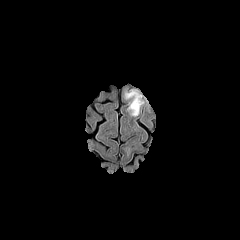
FLAIR MR image.
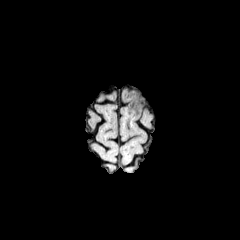
T1-weighted MRI.
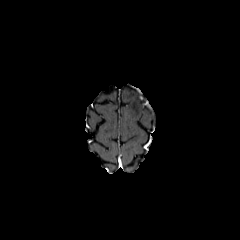
Post-contrast T1-weighted magnetic resonance.
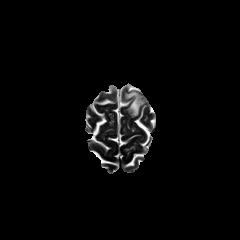
T2-weighted magnetic resonance.
Brain.
peritumoral edema = l=124, t=89, r=143, b=116